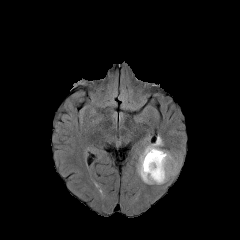
FLAIR MR image.
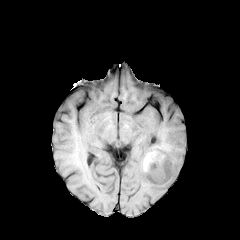
T1-weighted MRI.
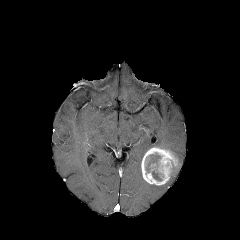
Post-contrast T1-weighted magnetic resonance.
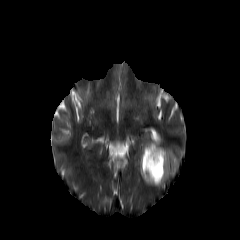
T2-weighted MRI.
Axial plane. 240x240 px.
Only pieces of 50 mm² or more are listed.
{
  "necrotic_tumor_core": [
    "[x1=145, y1=153, x2=160, y2=172]",
    "[x1=152, y1=170, x2=161, y2=180]"
  ],
  "peritumoral_edema": [
    "[x1=173, y1=152, x2=182, y2=165]",
    "[x1=136, y1=134, x2=163, y2=184]"
  ],
  "enhancing_tumor": [
    "[x1=141, y1=147, x2=179, y2=185]"
  ]
}